FLAIR MRI.
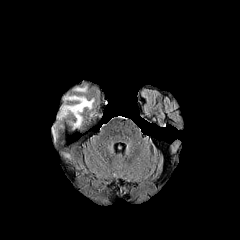
T1-weighted magnetic resonance.
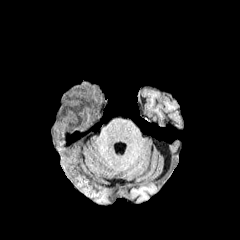
Post-contrast T1-weighted MR image.
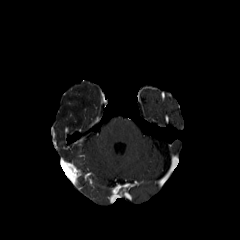
T2-weighted MRI.
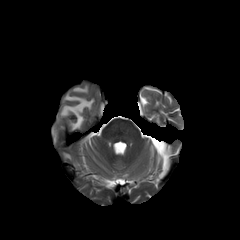
Brain | Axial view | Image size 240x240
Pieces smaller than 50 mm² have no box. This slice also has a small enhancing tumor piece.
Findings:
* peritumoral edema: 74,87,86,92; 58,95,93,128